Slice 75/155 | 240x240 | Axial slice
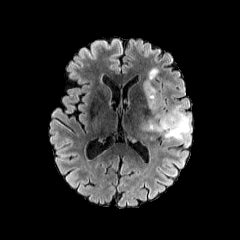
FLAIR MR.
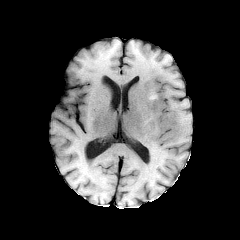
T1-weighted MR image.
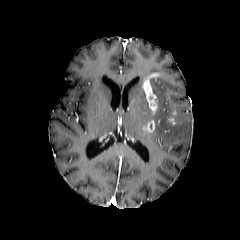
Post-contrast T1-weighted MR.
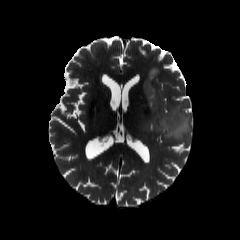
T2-weighted MR.
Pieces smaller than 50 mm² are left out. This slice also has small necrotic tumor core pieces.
{
  "peritumoral_edema": [
    {"x1": 146, "y1": 68, "x2": 159, "y2": 77},
    {"x1": 141, "y1": 86, "x2": 191, "y2": 142}
  ],
  "enhancing_tumor": [
    {"x1": 168, "y1": 110, "x2": 176, "y2": 124},
    {"x1": 144, "y1": 120, "x2": 155, "y2": 133},
    {"x1": 142, "y1": 73, "x2": 159, "y2": 114}
  ]
}